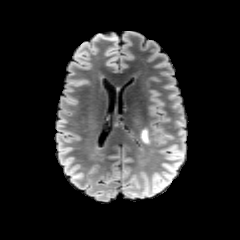
FLAIR MRI.
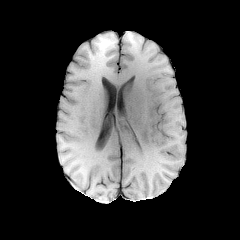
T1-weighted MR.
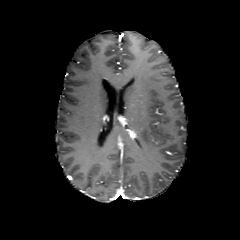
Same slice, post-contrast T1-weighted MRI.
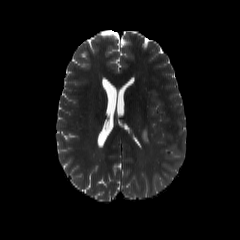
T2-weighted MRI.
Image size 240x240 | Axial plane
peritumoral edema = <bbox>141, 129, 149, 143</bbox>